FLAIR magnetic resonance.
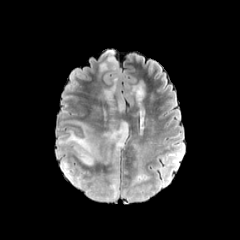
T1-weighted MR image.
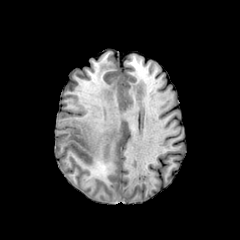
Post-contrast T1-weighted MR image.
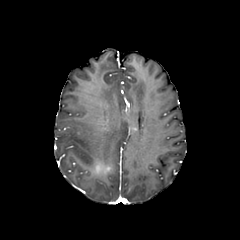
T2-weighted MR.
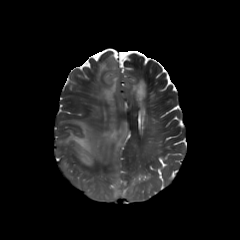
Axial view, Image size 240x240
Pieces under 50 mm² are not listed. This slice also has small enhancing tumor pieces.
peritumoral edema: (x1=102, y1=121, x2=128, y2=161), (x1=103, y1=78, x2=117, y2=103), (x1=131, y1=173, x2=146, y2=186), (x1=58, y1=121, x2=102, y2=170), (x1=61, y1=161, x2=73, y2=179), (x1=103, y1=165, x2=132, y2=200), (x1=132, y1=81, x2=144, y2=105)